FLAIR magnetic resonance.
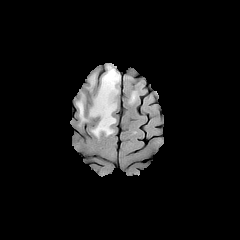
T1-weighted MRI.
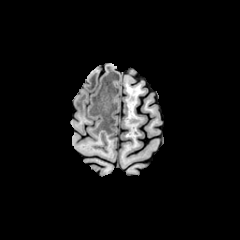
Post-contrast T1-weighted MRI.
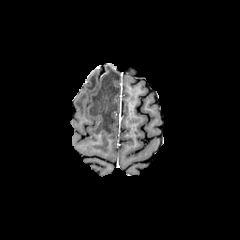
T2-weighted MRI.
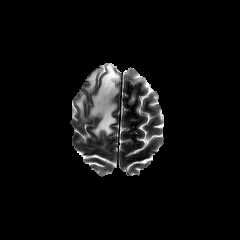
240x240 | Axial slice
4 peritumoral edema regions appear at <box>129,92,135,102</box>, <box>88,73,95,90</box>, <box>76,94,85,120</box>, <box>89,64,120,137</box>.